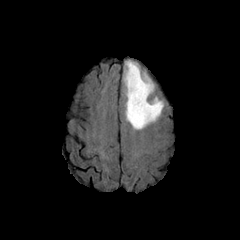
FLAIR MR image.
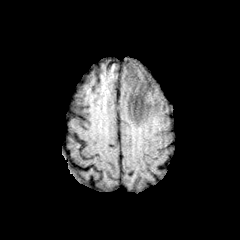
T1-weighted MR.
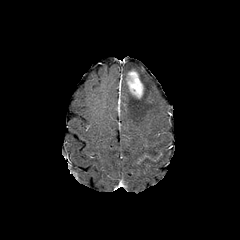
Post-contrast T1-weighted MR image.
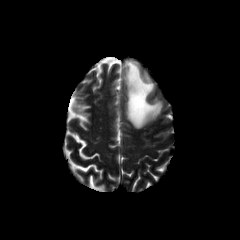
T2-weighted MRI.
Axial plane; Brain
The enhancing tumor is at <box>127,70,143,98</box>. The peritumoral edema is bounded by <box>123,60,163,129</box>.